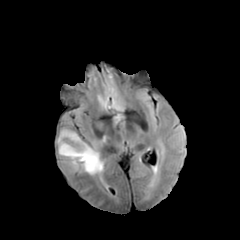
FLAIR MRI.
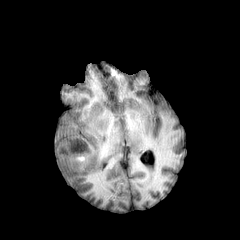
T1-weighted MRI.
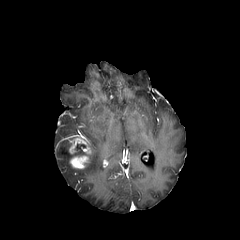
Same slice, post-contrast T1-weighted magnetic resonance.
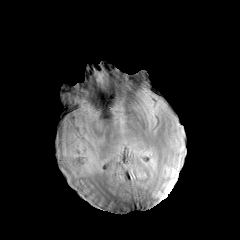
T2-weighted MR.
Image size 240x240, Axial view, Brain
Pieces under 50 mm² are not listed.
{"peritumoral_edema": ["(x1=82, y1=139, x2=103, y2=174)", "(x1=58, y1=130, x2=76, y2=141)", "(x1=58, y1=140, x2=71, y2=163)"], "enhancing_tumor": ["(x1=62, y1=134, x2=91, y2=169)"], "necrotic_tumor_core": ["(x1=72, y1=144, x2=85, y2=156)"]}